FLAIR MR image.
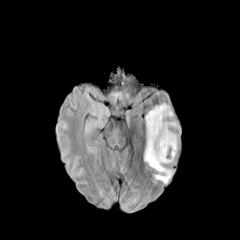
T1-weighted magnetic resonance.
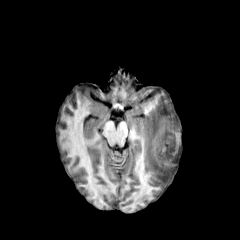
Post-contrast T1-weighted magnetic resonance.
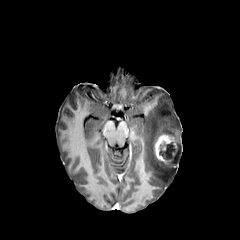
T2-weighted MRI.
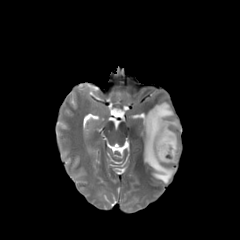
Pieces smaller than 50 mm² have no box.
• peritumoral edema: [144,103,180,183]
• enhancing tumor: [154,134,177,168]
• necrotic tumor core: [173,142,180,163], [159,142,175,159]